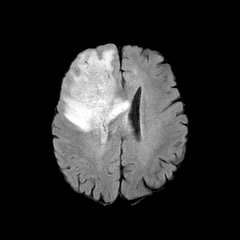
FLAIR MRI.
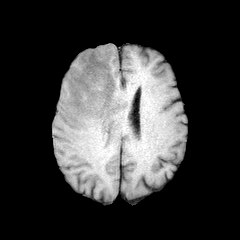
Same slice, T1-weighted MR image.
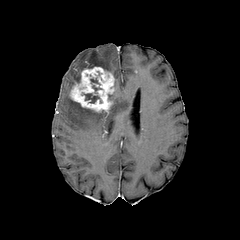
Post-contrast T1-weighted MR image of the same slice.
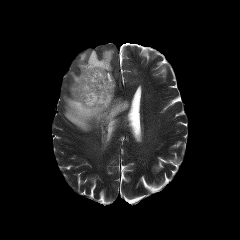
Same slice, T2-weighted magnetic resonance.
Brain
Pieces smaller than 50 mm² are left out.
The 2 largest peritumoral edema regions are located at box=[63, 92, 129, 133]; box=[69, 49, 114, 91]. The largest necrotic tumor core region lies within box=[84, 93, 99, 103]. The enhancing tumor is at box=[70, 66, 115, 114].